Axial slice | Head
FLAIR MRI.
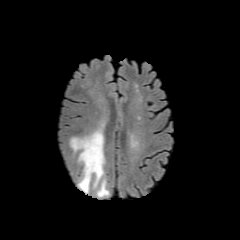
T1-weighted MR.
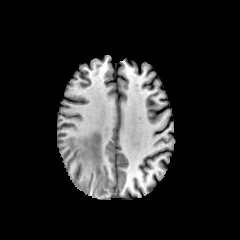
Post-contrast T1-weighted MR image.
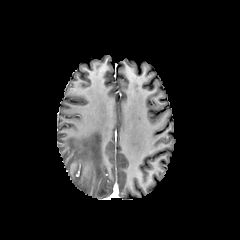
T2-weighted MR image.
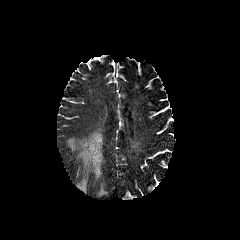
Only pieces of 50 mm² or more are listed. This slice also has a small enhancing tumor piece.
Findings:
- peritumoral edema: bbox=[69, 128, 109, 196]